FLAIR MR.
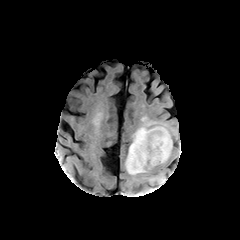
T1-weighted MR.
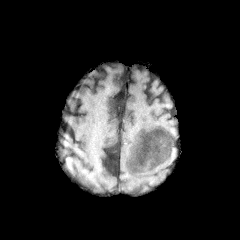
Post-contrast T1-weighted MRI.
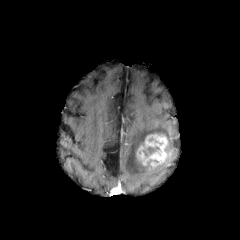
T2-weighted MR.
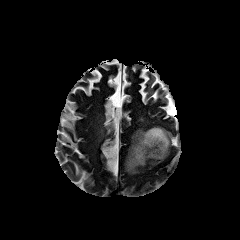
Brain | 240x240 px
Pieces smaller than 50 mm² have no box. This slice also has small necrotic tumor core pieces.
peritumoral edema — 125 126 172 174
enhancing tumor — 136 133 170 167